Axial slice; Image covers 240 mm x 240 mm
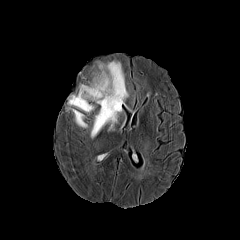
FLAIR MR image.
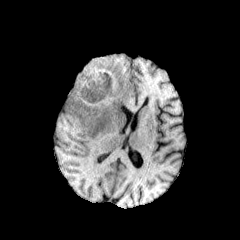
T1-weighted MR.
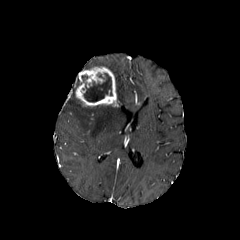
Same slice, post-contrast T1-weighted MR.
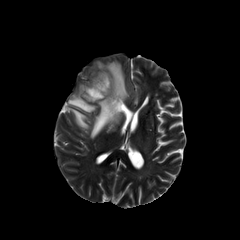
Same slice, T2-weighted magnetic resonance.
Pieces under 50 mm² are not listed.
peritumoral edema = (68, 94, 95, 112), (66, 107, 88, 128), (90, 61, 128, 138)
necrotic tumor core = (83, 73, 112, 102)
enhancing tumor = (75, 66, 119, 106)